FLAIR magnetic resonance.
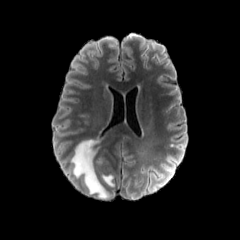
T1-weighted MRI.
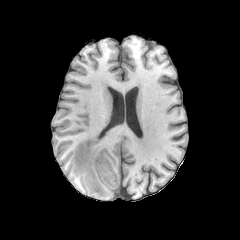
Post-contrast T1-weighted MR image.
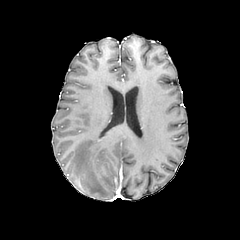
T2-weighted MR.
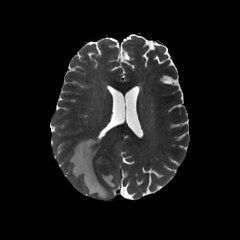
Axial plane. Head.
peritumoral edema at (71,139,110,198), (102,174,114,186)